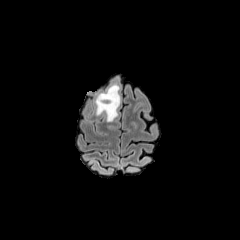
FLAIR MRI.
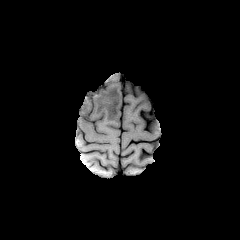
T1-weighted MR.
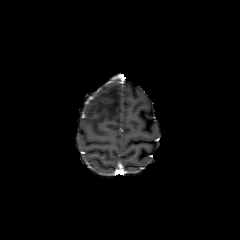
Same slice, post-contrast T1-weighted MRI.
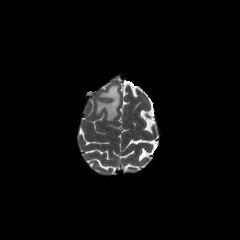
T2-weighted MR.
Head
Annotated regions:
* peritumoral edema: x1=95 y1=82 x2=120 y2=121